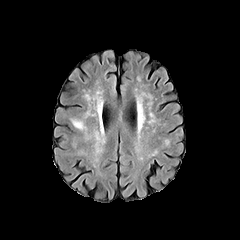
FLAIR MRI.
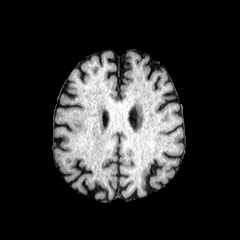
T1-weighted MR image.
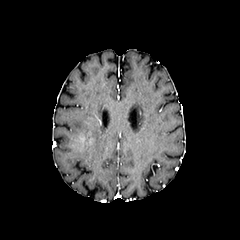
Post-contrast T1-weighted MR image of the same slice.
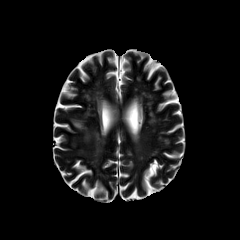
T2-weighted magnetic resonance of the same slice.
Axial view; 240x240; Brain
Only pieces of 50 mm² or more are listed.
The largest peritumoral edema region is located at 68,118,85,132.